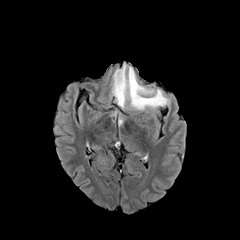
FLAIR MR.
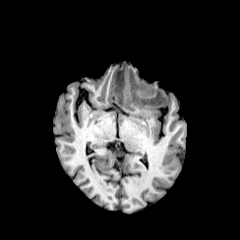
T1-weighted MRI of the same slice.
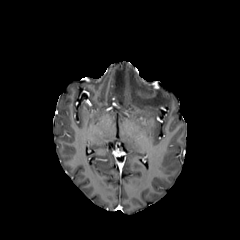
Same slice, post-contrast T1-weighted MRI.
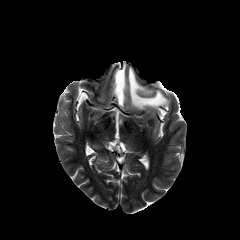
T2-weighted MRI of the same slice.
Axial slice; Brain; 240x240
<segmentation>
  <peritumoral_edema>(112, 64, 169, 109)</peritumoral_edema>
</segmentation>